Brain; Image width 240 mm
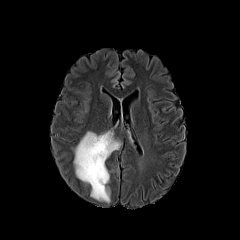
FLAIR MRI.
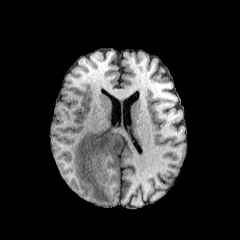
T1-weighted MR.
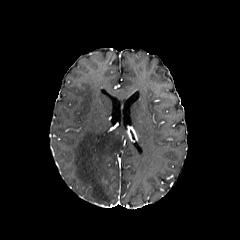
Post-contrast T1-weighted MR.
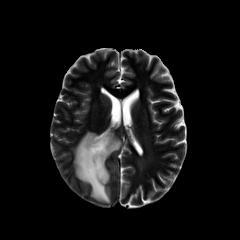
T2-weighted MR image.
<segmentation>
  <peritumoral_edema><box>74,131,120,202</box></peritumoral_edema>
</segmentation>